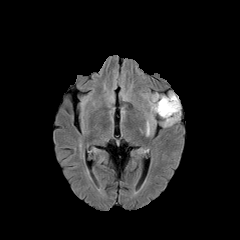
FLAIR magnetic resonance.
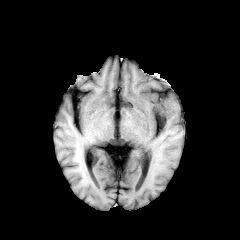
T1-weighted MR.
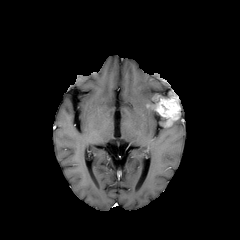
Post-contrast T1-weighted MRI.
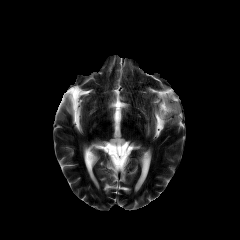
T2-weighted MR image.
Axial slice.
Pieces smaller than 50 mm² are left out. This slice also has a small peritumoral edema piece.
The enhancing tumor is at [152, 91, 180, 126].